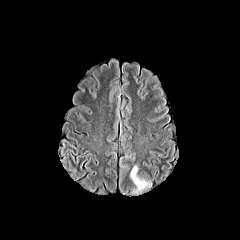
FLAIR magnetic resonance.
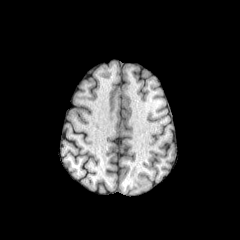
Same slice, T1-weighted MR.
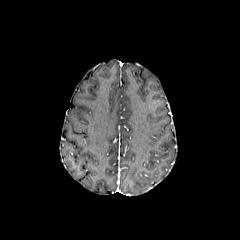
Post-contrast T1-weighted MRI.
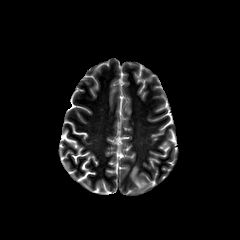
T2-weighted MR image of the same slice.
Axial slice
The peritumoral edema is located at box=[130, 166, 149, 192].